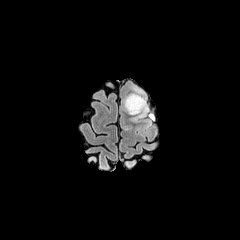
FLAIR MR image.
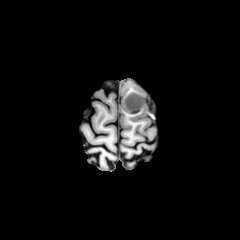
Same slice, T1-weighted MR image.
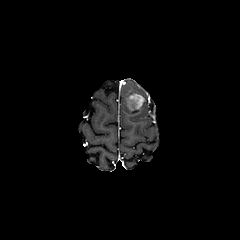
Post-contrast T1-weighted magnetic resonance.
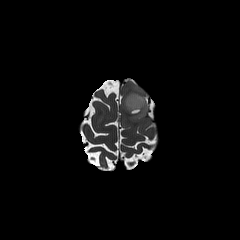
Same slice, T2-weighted MR.
240x240 px.
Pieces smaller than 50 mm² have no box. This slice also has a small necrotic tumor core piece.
Findings:
- enhancing tumor: 126, 93, 144, 113
- peritumoral edema: 122, 84, 150, 123